Slice 59 of 155 | Image width 240 mm, 1.00 mm slice spacing | Axial plane | Head
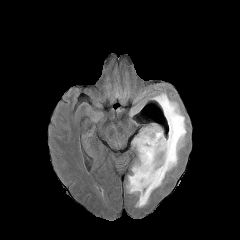
FLAIR magnetic resonance.
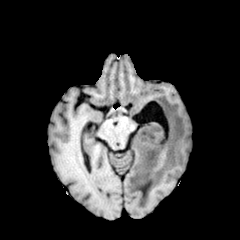
T1-weighted magnetic resonance.
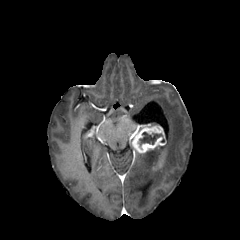
Same slice, post-contrast T1-weighted MR image.
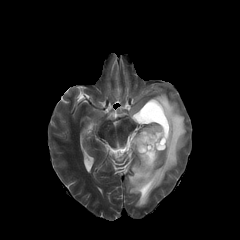
T2-weighted MR of the same slice.
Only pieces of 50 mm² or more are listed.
The largest peritumoral edema region is located at l=127, t=93, r=186, b=207. The largest enhancing tumor region lies within l=132, t=125, r=166, b=153. The largest necrotic tumor core region is located at l=139, t=132, r=162, b=144.